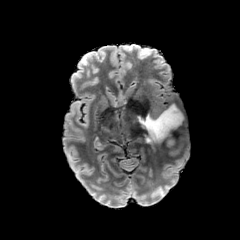
FLAIR MR.
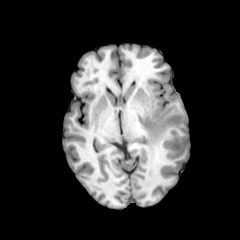
T1-weighted MR.
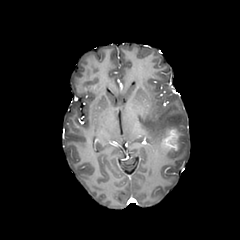
Post-contrast T1-weighted MR of the same slice.
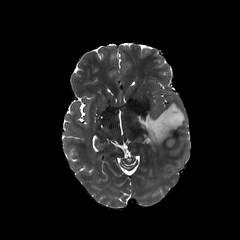
T2-weighted MRI.
Axial plane, 240x240
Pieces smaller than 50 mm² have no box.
enhancing tumor: x1=163 y1=129 x2=178 y2=150
peritumoral edema: x1=136 y1=104 x2=184 y2=142